FLAIR magnetic resonance.
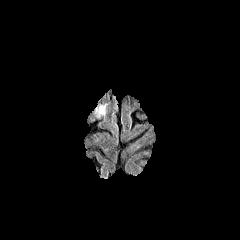
T1-weighted MR.
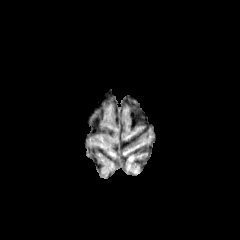
Post-contrast T1-weighted MR.
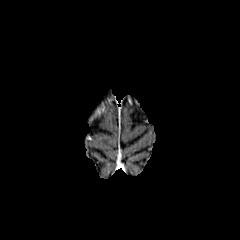
T2-weighted MRI.
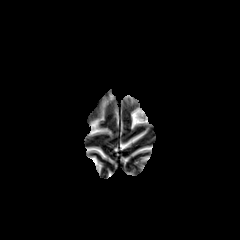
Axial plane
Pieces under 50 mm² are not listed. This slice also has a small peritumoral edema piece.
enhancing_tumor:
  - <bbox>96, 106, 104, 115</bbox>